FLAIR magnetic resonance.
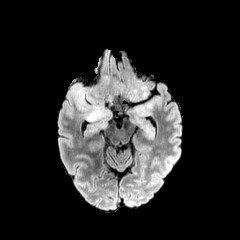
T1-weighted magnetic resonance.
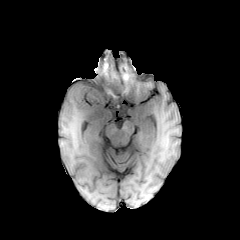
Post-contrast T1-weighted MRI.
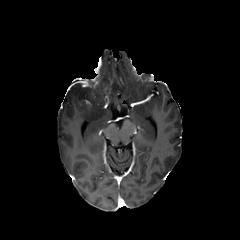
T2-weighted MRI.
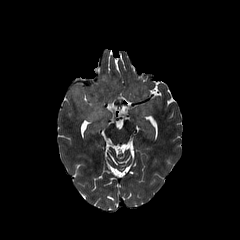
Head. Axial plane.
<segmentation>
  <peritumoral_edema><box>127,97,158,124</box>, <box>71,76,152,125</box></peritumoral_edema>
</segmentation>